FLAIR MR image.
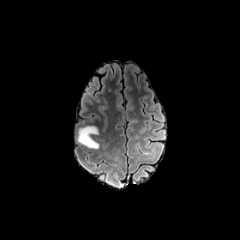
T1-weighted MR.
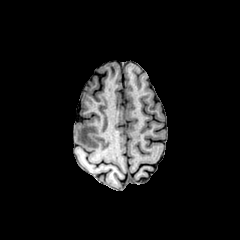
Post-contrast T1-weighted MR.
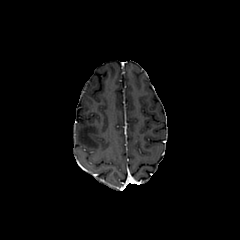
T2-weighted magnetic resonance.
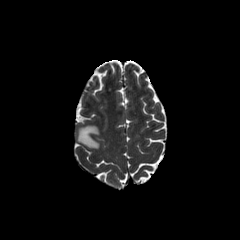
Head
peritumoral_edema:
  - 77, 126, 99, 148